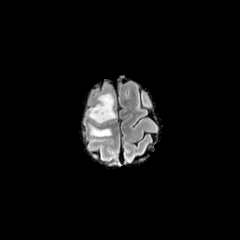
FLAIR MR.
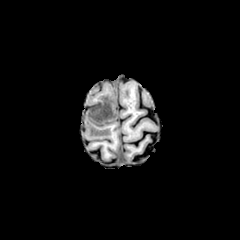
T1-weighted MR.
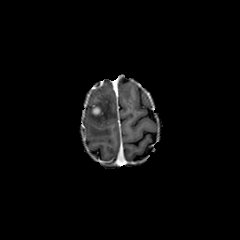
Post-contrast T1-weighted MRI.
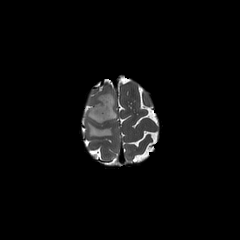
Same slice, T2-weighted magnetic resonance.
Axial slice
peritumoral edema: (x1=86, y1=122, x2=111, y2=136), (x1=86, y1=92, x2=116, y2=124)
enhancing tumor: (x1=91, y1=106, x2=100, y2=115)